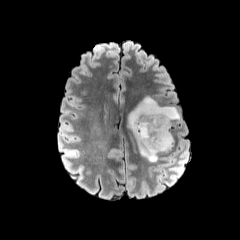
FLAIR MRI.
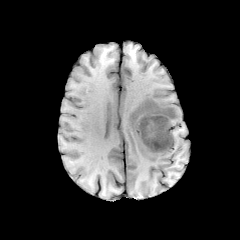
T1-weighted MR of the same slice.
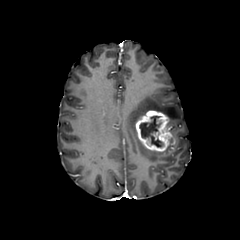
Same slice, post-contrast T1-weighted MR.
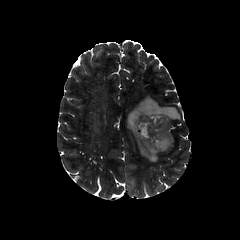
T2-weighted MR.
Head
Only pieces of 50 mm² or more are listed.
necrotic tumor core — <box>139,115,168,148</box>
peritumoral edema — <box>126,96,180,162</box>
enhancing tumor — <box>135,110,175,151</box>